FLAIR MR image.
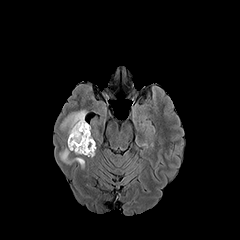
T1-weighted magnetic resonance.
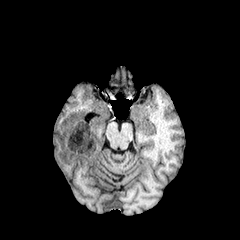
Post-contrast T1-weighted magnetic resonance.
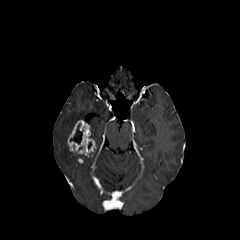
T2-weighted MR.
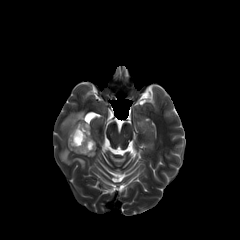
Axial slice
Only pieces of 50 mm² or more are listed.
peritumoral_edema:
  - region(60, 110, 86, 137)
  - region(60, 147, 79, 164)
enhancing_tumor:
  - region(67, 120, 95, 156)
necrotic_tumor_core:
  - region(70, 123, 82, 144)